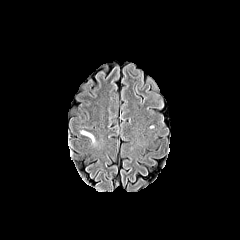
FLAIR MR.
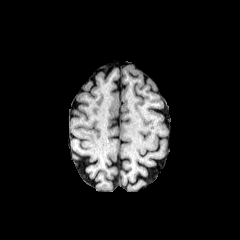
T1-weighted MR image of the same slice.
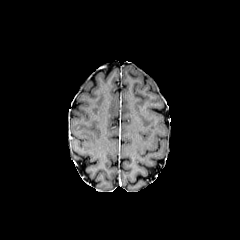
Post-contrast T1-weighted magnetic resonance.
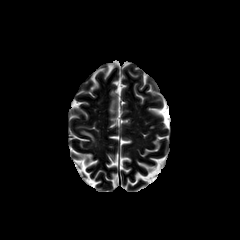
Same slice, T2-weighted magnetic resonance.
Axial view
<segmentation>
  <peritumoral_edema>x1=81 y1=131 x2=94 y2=143</peritumoral_edema>
</segmentation>